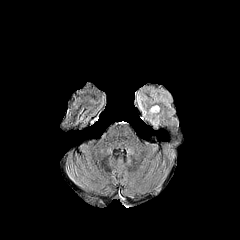
FLAIR MRI.
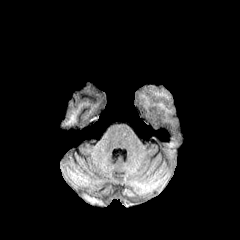
T1-weighted magnetic resonance.
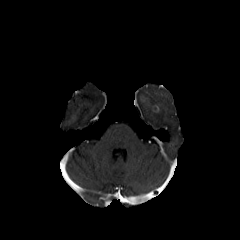
Same slice, post-contrast T1-weighted magnetic resonance.
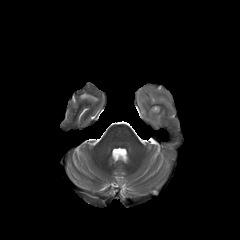
T2-weighted MR.
Axial slice
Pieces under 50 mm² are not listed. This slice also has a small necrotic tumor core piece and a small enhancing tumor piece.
peritumoral_edema:
  - <box>137,95,146,115</box>
  - <box>148,109,159,128</box>